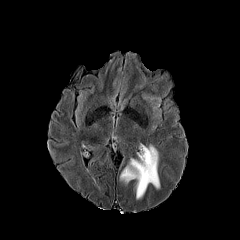
FLAIR magnetic resonance.
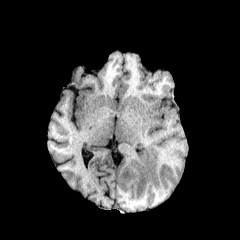
T1-weighted MRI of the same slice.
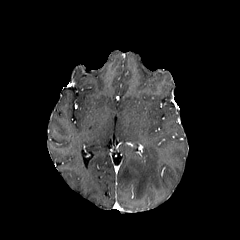
Post-contrast T1-weighted MRI.
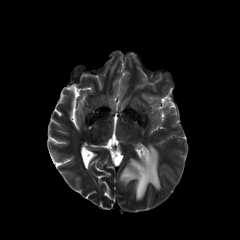
T2-weighted magnetic resonance.
240x240, Head, Axial view
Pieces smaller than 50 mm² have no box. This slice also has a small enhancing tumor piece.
The peritumoral edema is located at bbox=[120, 145, 160, 199].